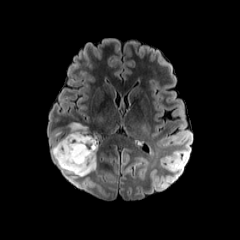
FLAIR MR.
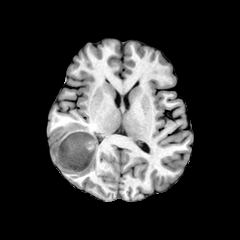
T1-weighted MR.
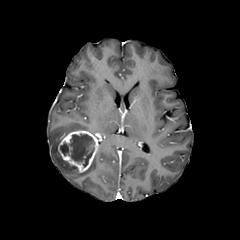
Post-contrast T1-weighted MRI.
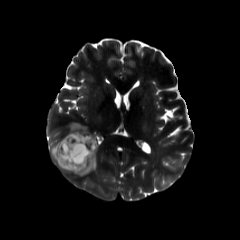
T2-weighted MR image.
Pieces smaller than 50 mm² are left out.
{
  "enhancing_tumor": [
    "<bbox>58, 130, 98, 172</bbox>"
  ],
  "peritumoral_edema": [
    "<bbox>68, 122, 87, 132</bbox>",
    "<bbox>51, 139, 96, 176</bbox>"
  ],
  "necrotic_tumor_core": [
    "<bbox>60, 133, 94, 167</bbox>"
  ]
}